Head; Slice 127 of 155
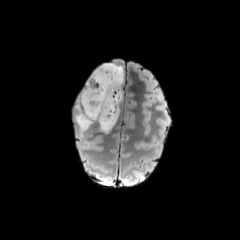
FLAIR MR.
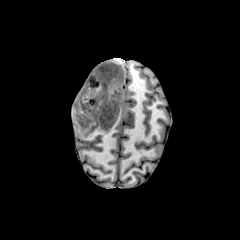
T1-weighted MR image.
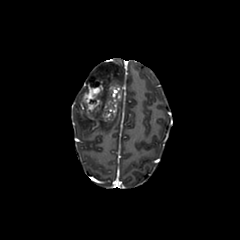
Post-contrast T1-weighted MR of the same slice.
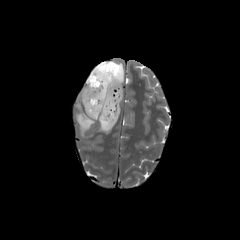
T2-weighted MR.
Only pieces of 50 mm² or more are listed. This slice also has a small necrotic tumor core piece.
peritumoral edema at x1=90 y1=63 x2=123 y2=86, x1=75 y1=81 x2=119 y2=137
enhancing tumor at x1=80 y1=76 x2=122 y2=121